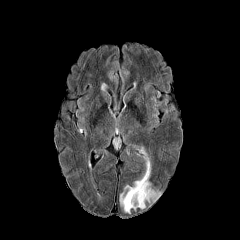
FLAIR MR image.
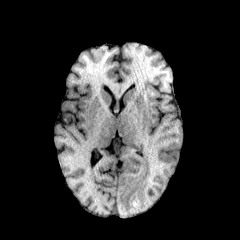
T1-weighted MR.
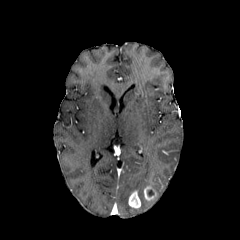
Post-contrast T1-weighted MR.
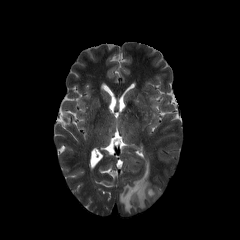
T2-weighted MR image.
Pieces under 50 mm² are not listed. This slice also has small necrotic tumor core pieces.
peritumoral edema — (119, 146, 161, 214)
enhancing tumor — (128, 190, 140, 208), (143, 186, 156, 200)